FLAIR MRI.
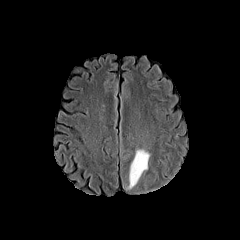
T1-weighted MRI.
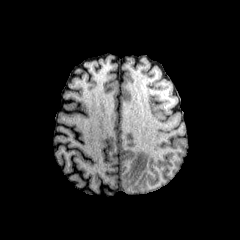
Post-contrast T1-weighted MRI.
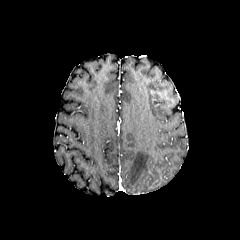
T2-weighted MR image.
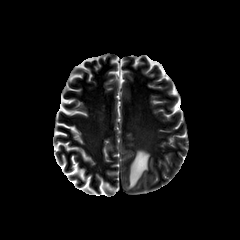
The peritumoral edema appears at left=126, top=149, right=150, bottom=189.